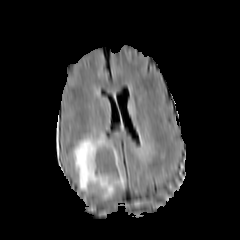
FLAIR magnetic resonance.
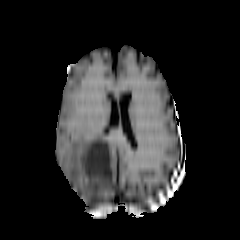
T1-weighted MR.
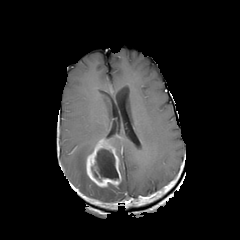
Post-contrast T1-weighted MR of the same slice.
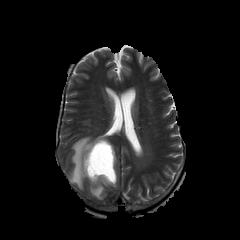
T2-weighted MR.
Axial plane
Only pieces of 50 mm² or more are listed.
peritumoral edema = bbox=[72, 134, 117, 198]; bbox=[118, 166, 124, 187]
enhancing tumor = bbox=[86, 138, 121, 187]
necrotic tumor core = bbox=[91, 149, 118, 180]